240x240. Head.
FLAIR magnetic resonance.
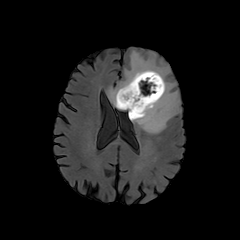
T1-weighted magnetic resonance.
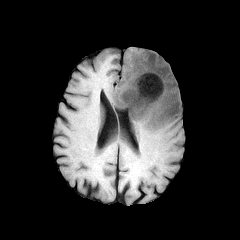
Post-contrast T1-weighted MR image.
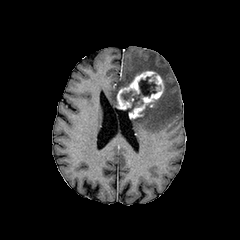
T2-weighted magnetic resonance.
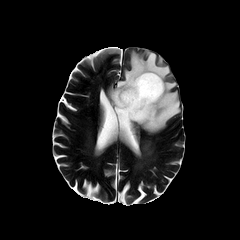
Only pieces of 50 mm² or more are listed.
The largest enhancing tumor region lies within <bbox>116, 71, 164, 118</bbox>. The necrotic tumor core is at <bbox>121, 77, 156, 111</bbox>. The peritumoral edema is located at <bbox>107, 50, 180, 133</bbox>.